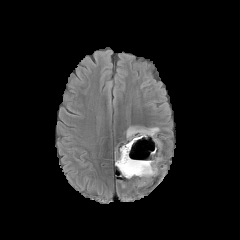
FLAIR MR image.
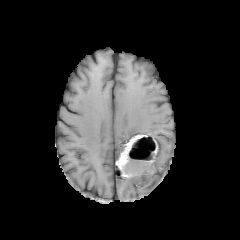
T1-weighted MR of the same slice.
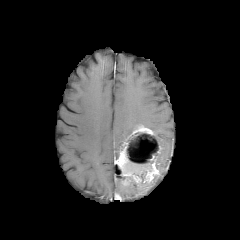
Post-contrast T1-weighted MRI of the same slice.
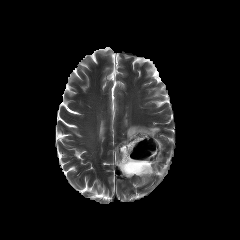
Same slice, T2-weighted MR.
Head | Axial slice
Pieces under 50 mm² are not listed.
necrotic_tumor_core:
  - [125, 133, 159, 175]
peritumoral_edema:
  - [126, 126, 136, 137]
enhancing_tumor:
  - [115, 125, 159, 186]